Head; Slice 99/155
FLAIR MR image.
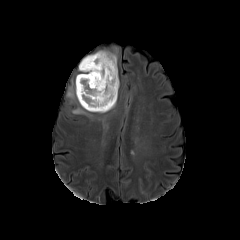
T1-weighted MR image.
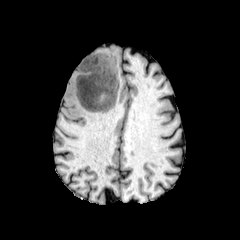
Post-contrast T1-weighted MR.
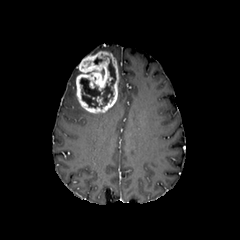
T2-weighted MRI.
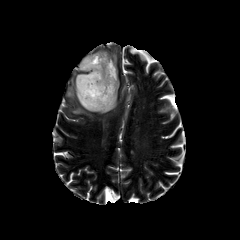
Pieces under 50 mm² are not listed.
enhancing tumor: <box>76,51,118,113</box> | peritumoral edema: <box>67,78,77,101</box>, <box>100,48,117,65</box>, <box>72,105,93,117</box> | necrotic tumor core: <box>80,58,116,108</box>, <box>94,57,105,64</box>